Image covers 240 mm x 240 mm; Axial slice; Image size 240x240
FLAIR MR image.
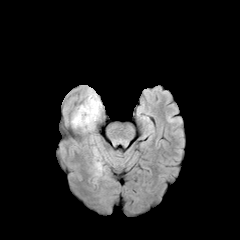
T1-weighted MRI.
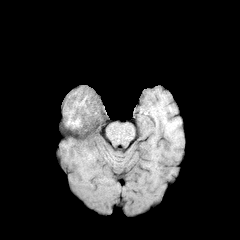
Post-contrast T1-weighted MRI.
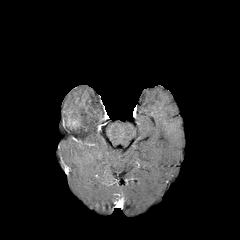
T2-weighted MR image.
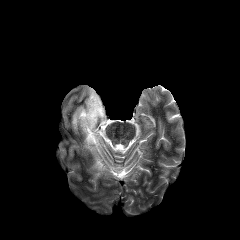
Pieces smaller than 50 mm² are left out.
peritumoral edema — (x1=72, y1=88, x2=105, y2=175)